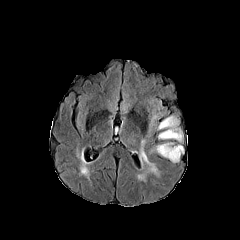
FLAIR MR image.
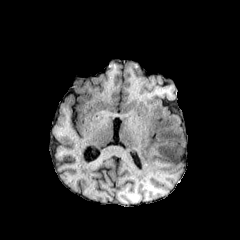
T1-weighted MRI of the same slice.
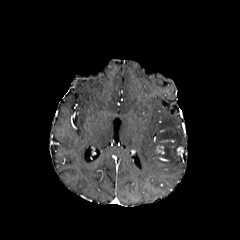
Post-contrast T1-weighted MR.
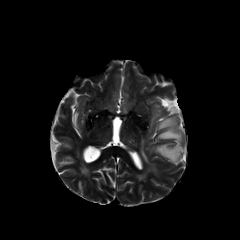
T2-weighted magnetic resonance.
Head. Axial slice.
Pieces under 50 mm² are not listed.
enhancing tumor at box=[177, 146, 183, 155]; box=[156, 146, 164, 154]
peritumoral edema at box=[158, 143, 180, 162]; box=[158, 116, 182, 141]; box=[140, 139, 158, 174]